Axial view; Slice 74/155
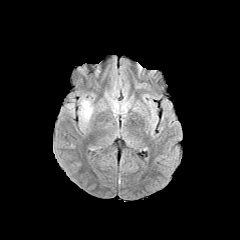
FLAIR magnetic resonance.
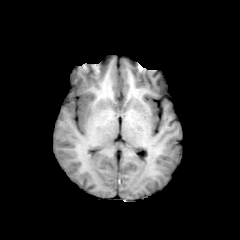
T1-weighted MR image.
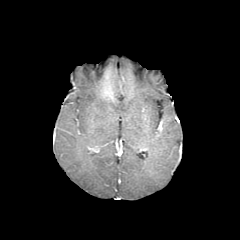
Post-contrast T1-weighted MR image.
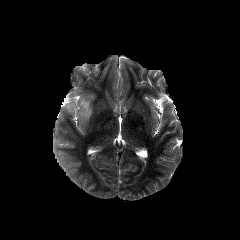
Same slice, T2-weighted MR.
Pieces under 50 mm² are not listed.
peritumoral edema: region(79, 99, 92, 121)